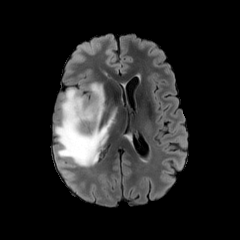
FLAIR MR image.
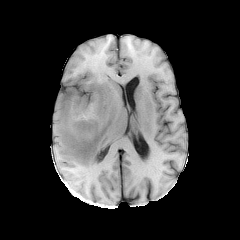
T1-weighted MR image.
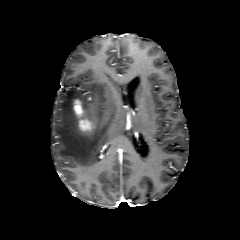
Post-contrast T1-weighted MR of the same slice.
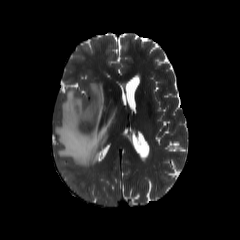
T2-weighted magnetic resonance.
Image size 240x240; Brain
enhancing tumor: l=72, t=98, r=94, b=131 | peritumoral edema: l=54, t=82, r=115, b=167